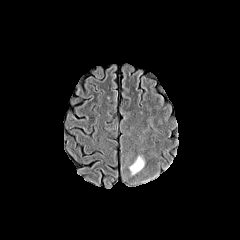
FLAIR MR image.
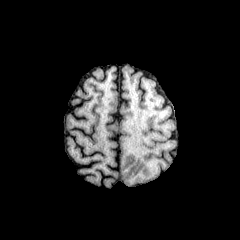
Same slice, T1-weighted MR.
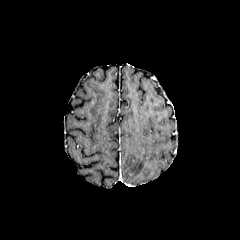
Post-contrast T1-weighted MRI.
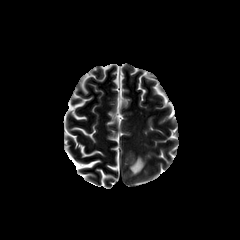
T2-weighted MR.
Head. 240x240 px.
Findings:
* peritumoral edema: l=129, t=156, r=144, b=175